FLAIR MRI.
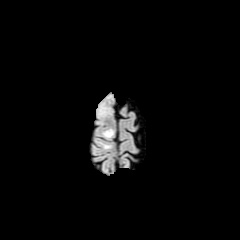
T1-weighted magnetic resonance.
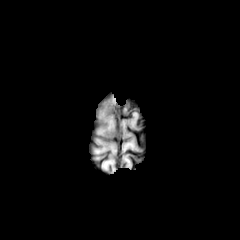
Post-contrast T1-weighted MR.
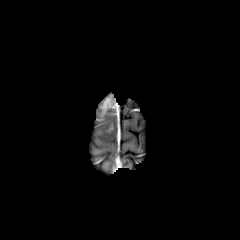
T2-weighted MRI.
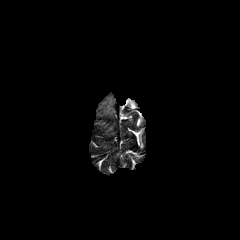
Axial slice
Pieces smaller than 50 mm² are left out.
Annotated regions:
* enhancing tumor: left=100, top=95, right=112, bottom=116
* peritumoral edema: left=98, top=107, right=112, bottom=119; left=102, top=127, right=113, bottom=138